FLAIR MR image.
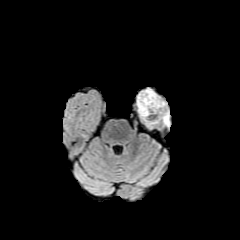
T1-weighted magnetic resonance.
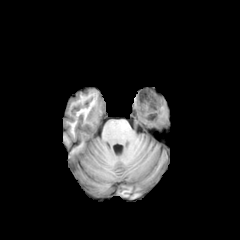
Post-contrast T1-weighted magnetic resonance.
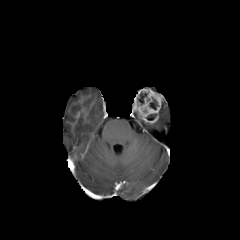
T2-weighted MR.
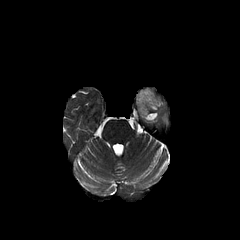
Head | Axial view
peritumoral_edema:
  - box(159, 114, 169, 126)
enhancing_tumor:
  - box(134, 88, 162, 123)
necrotic_tumor_core:
  - box(138, 92, 146, 104)
  - box(146, 114, 156, 120)
  - box(149, 99, 157, 109)